Image size 240x240; Axial plane
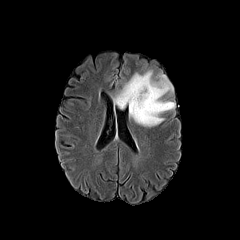
FLAIR MR.
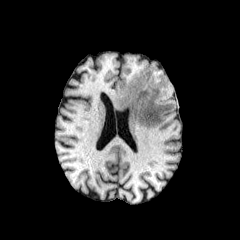
Same slice, T1-weighted MRI.
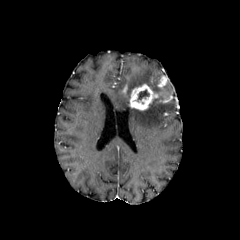
Post-contrast T1-weighted MR of the same slice.
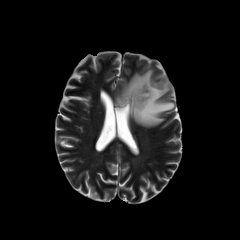
T2-weighted MRI of the same slice.
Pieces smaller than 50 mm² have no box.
necrotic tumor core: bounding box (137,89,149,101)
enhancing tumor: bounding box (129,84,158,110), (158,75,167,87)
peritumoral edema: bounding box (113,70,175,127)